Image width 240 mm, 1.00 mm slice spacing
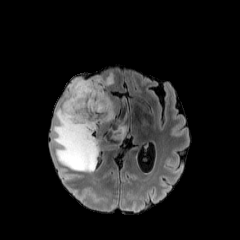
FLAIR MR.
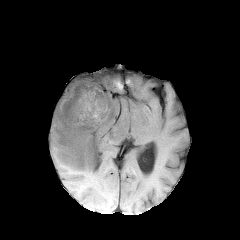
Same slice, T1-weighted MRI.
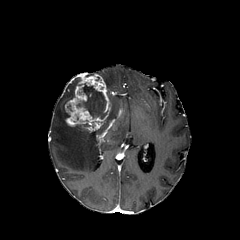
Same slice, post-contrast T1-weighted MRI.
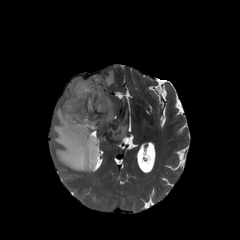
T2-weighted MR image of the same slice.
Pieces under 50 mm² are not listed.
{
  "necrotic_tumor_core": [
    "[x1=77, y1=83, x2=106, y2=118]"
  ],
  "enhancing_tumor": [
    "[x1=65, y1=74, x2=111, y2=132]"
  ],
  "peritumoral_edema": [
    "[x1=101, y1=72, x2=114, y2=89]",
    "[x1=53, y1=77, x2=101, y2=172]",
    "[x1=105, y1=92, x2=114, y2=122]",
    "[x1=112, y1=122, x2=126, y2=141]"
  ]
}